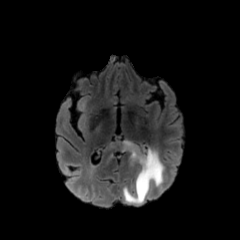
FLAIR magnetic resonance.
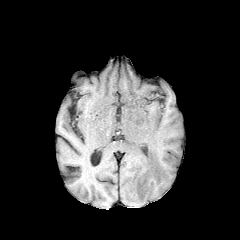
T1-weighted magnetic resonance.
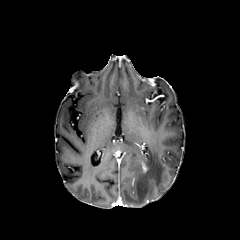
Post-contrast T1-weighted MR.
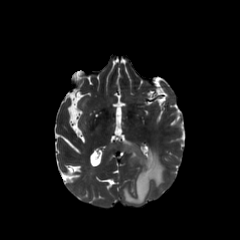
T2-weighted MR image.
Axial slice
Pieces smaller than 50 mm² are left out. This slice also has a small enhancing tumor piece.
<segmentation>
  <peritumoral_edema><bbox>114, 141, 164, 204</bbox></peritumoral_edema>
</segmentation>